Head.
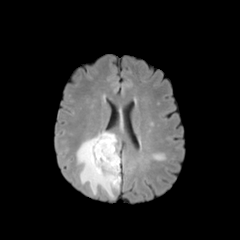
FLAIR magnetic resonance.
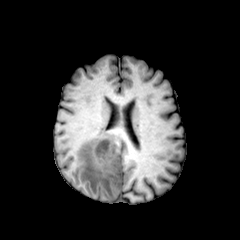
T1-weighted MRI.
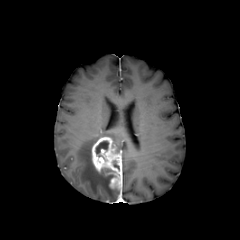
Post-contrast T1-weighted MRI.
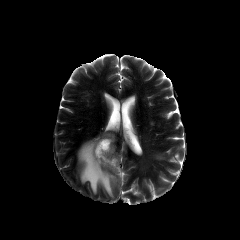
T2-weighted magnetic resonance of the same slice.
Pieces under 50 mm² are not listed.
<segmentation>
  <peritumoral_edema>76,132,119,198</peritumoral_edema>
  <necrotic_tumor_core>96,141,108,154</necrotic_tumor_core>
  <enhancing_tumor>92,137,121,188</enhancing_tumor>
</segmentation>